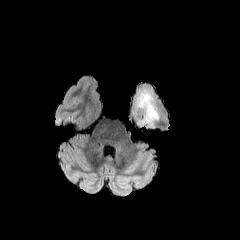
FLAIR MR image.
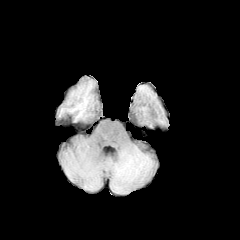
Same slice, T1-weighted MR.
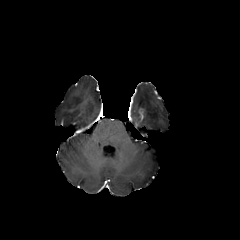
Post-contrast T1-weighted MRI.
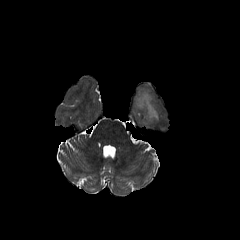
T2-weighted MR image.
Axial plane | Brain | Image size 240x240
{
  "peritumoral_edema": [
    "l=134, t=88, r=159, b=125"
  ],
  "enhancing_tumor": [
    "l=137, t=108, r=144, b=121"
  ]
}